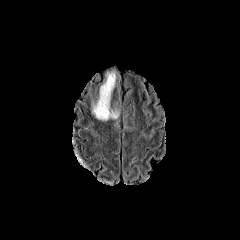
FLAIR MRI.
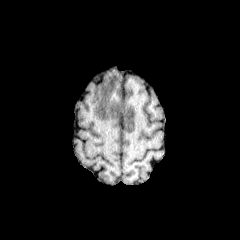
T1-weighted MR image.
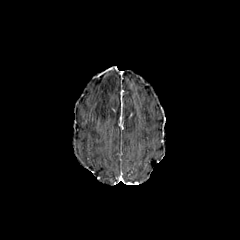
Post-contrast T1-weighted magnetic resonance.
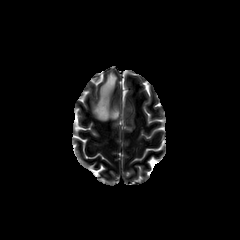
Same slice, T2-weighted MR image.
The peritumoral edema lies within (92,72,118,120).